FLAIR MRI.
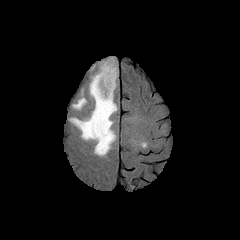
T1-weighted magnetic resonance.
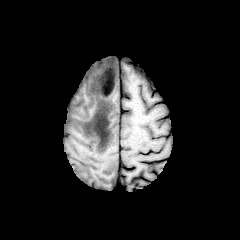
Post-contrast T1-weighted MR image.
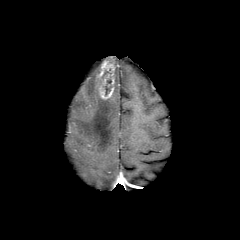
T2-weighted MR.
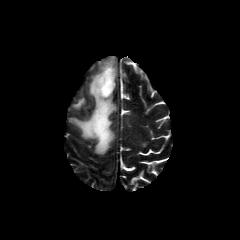
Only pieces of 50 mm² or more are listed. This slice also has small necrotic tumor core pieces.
Annotated regions:
* enhancing tumor: <box>95,57,115,99</box>
* peritumoral edema: <box>73,97,86,109</box>, <box>70,62,117,155</box>